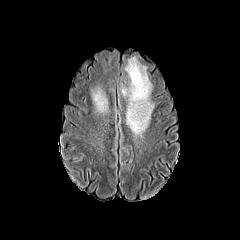
FLAIR MR image.
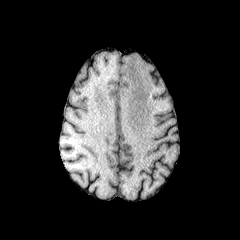
T1-weighted MR image of the same slice.
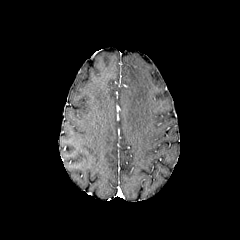
Post-contrast T1-weighted MRI.
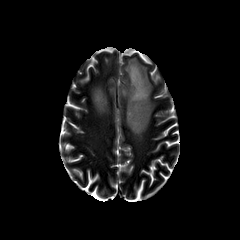
T2-weighted MR image of the same slice.
Brain | 240x240 | Axial slice
{"peritumoral_edema": ["(92,88,107,111)", "(121,57,153,136)"]}